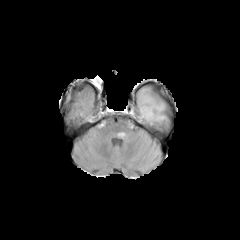
FLAIR magnetic resonance.
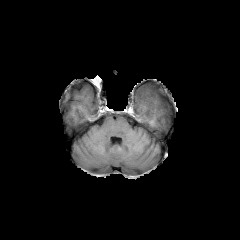
T1-weighted MR image.
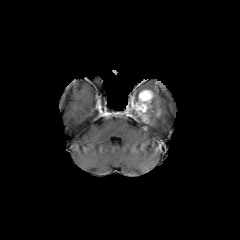
Post-contrast T1-weighted MRI.
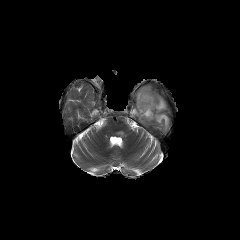
T2-weighted MR image.
Image size 240x240; Head
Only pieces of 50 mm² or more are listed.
peritumoral edema at 146:97:168:124
enhancing tumor at 132:89:154:123